Head. Axial view.
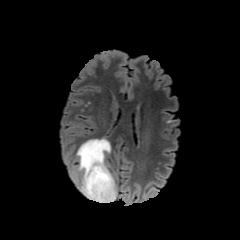
FLAIR MR image.
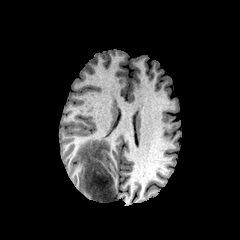
T1-weighted MR.
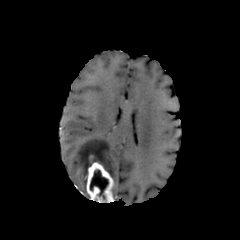
Post-contrast T1-weighted MR.
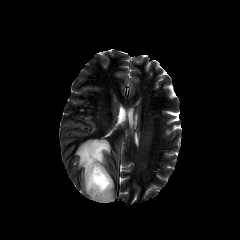
Same slice, T2-weighted MRI.
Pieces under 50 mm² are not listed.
<segmentation>
  <enhancing_tumor><bbox>86, 155, 114, 202</bbox></enhancing_tumor>
  <peritumoral_edema><bbox>76, 138, 110, 199</bbox></peritumoral_edema>
  <necrotic_tumor_core><bbox>90, 170, 108, 199</bbox></necrotic_tumor_core>
</segmentation>